FLAIR MRI.
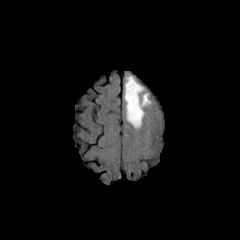
T1-weighted MR.
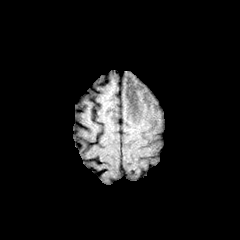
Post-contrast T1-weighted MR.
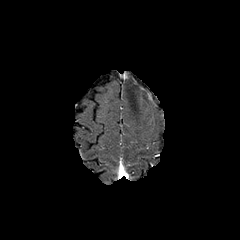
T2-weighted magnetic resonance.
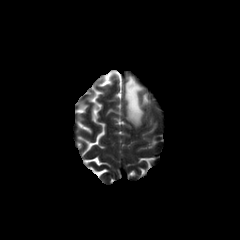
peritumoral edema: bounding box <bbox>124, 76, 150, 127</bbox>